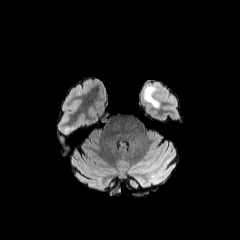
FLAIR MR image.
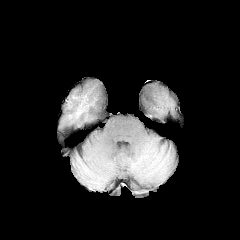
T1-weighted MR image of the same slice.
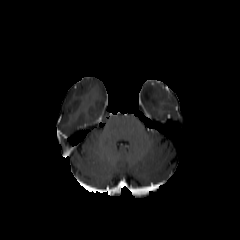
Post-contrast T1-weighted MR.
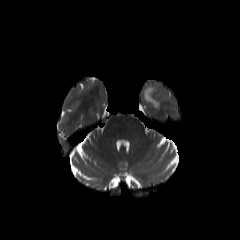
T2-weighted MRI of the same slice.
Brain
The peritumoral edema is bounded by (x1=143, y1=84, x2=164, y2=108).